Image covers 240 mm x 240 mm. Image size 240x240. Brain. Axial slice.
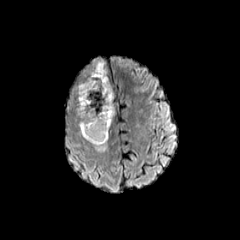
FLAIR MRI.
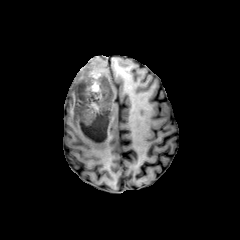
Same slice, T1-weighted MR.
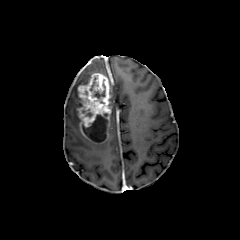
Post-contrast T1-weighted magnetic resonance.
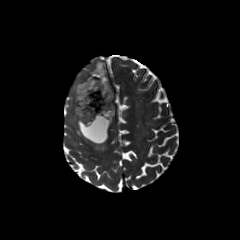
Same slice, T2-weighted MR image.
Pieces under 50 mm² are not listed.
The 2 largest necrotic tumor core regions are bounded by [90,77,105,99], [82,114,107,142]. The largest enhancing tumor region is bounded by [78,73,111,143]. The 3 largest peritumoral edema regions are bounded by [91,141,106,151], [111,89,114,123], [74,60,107,118].